Slice 32/155, Axial plane
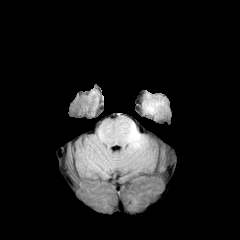
FLAIR MR image.
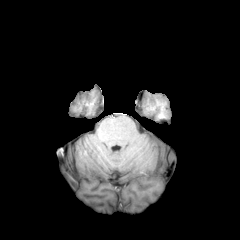
Same slice, T1-weighted magnetic resonance.
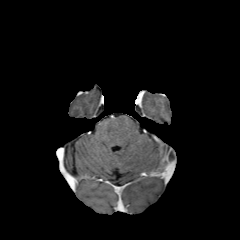
Post-contrast T1-weighted MRI.
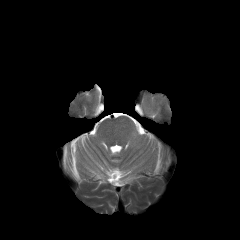
T2-weighted MR.
peritumoral edema: box=[144, 102, 160, 113]